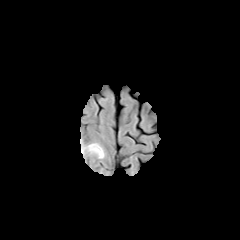
FLAIR magnetic resonance.
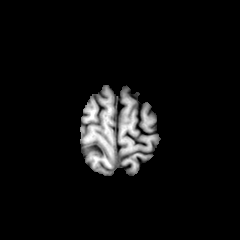
T1-weighted MRI.
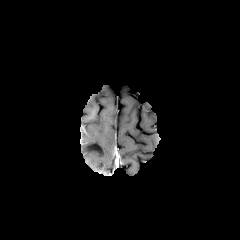
Post-contrast T1-weighted MR of the same slice.
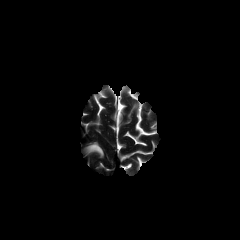
T2-weighted magnetic resonance.
240x240 | Axial slice | Head
<segmentation>
  <peritumoral_edema>bbox(82, 143, 104, 158)</peritumoral_edema>
</segmentation>